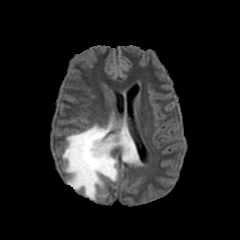
FLAIR magnetic resonance.
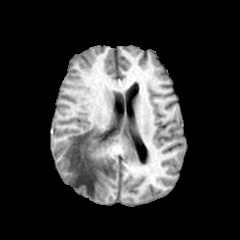
T1-weighted MR image.
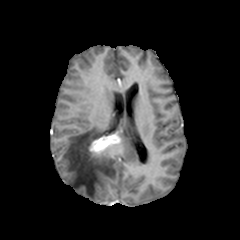
Post-contrast T1-weighted MR.
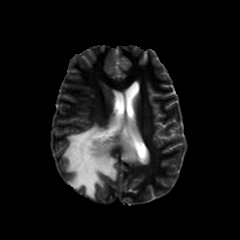
T2-weighted magnetic resonance.
240x240 px, Axial slice
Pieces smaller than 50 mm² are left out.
enhancing_tumor:
  - [89,132,120,155]
peritumoral_edema:
  - [62,124,141,199]